Head; Slice 81/155; 240x240
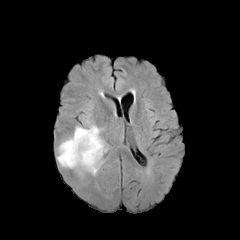
FLAIR MR.
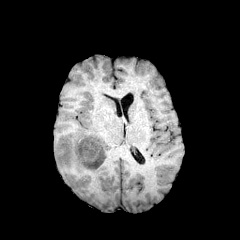
T1-weighted MRI.
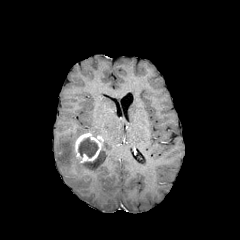
Post-contrast T1-weighted MR of the same slice.
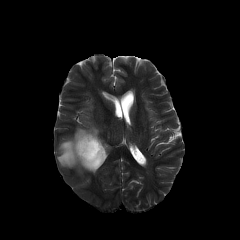
T2-weighted MR image.
Annotated regions:
* enhancing tumor: (left=73, top=132, right=102, bottom=162)
* necrotic tumor core: (left=78, top=138, right=98, bottom=157)
* peritumoral edema: (left=57, top=121, right=107, bottom=174)